FLAIR MR image.
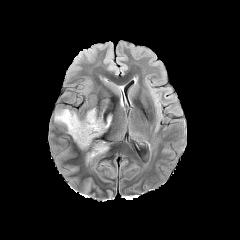
T1-weighted MR image.
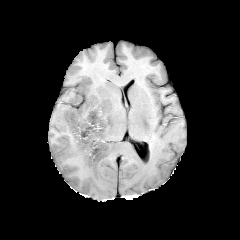
Post-contrast T1-weighted MR.
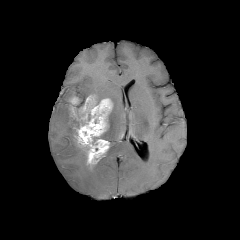
T2-weighted MR image.
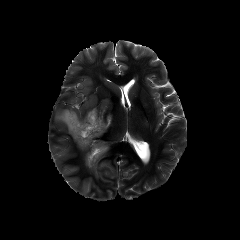
240x240 px. Head.
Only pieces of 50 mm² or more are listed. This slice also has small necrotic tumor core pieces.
enhancing_tumor:
  - left=70, top=96, right=111, bottom=166
peritumoral_edema:
  - left=54, top=108, right=79, bottom=142